FLAIR magnetic resonance.
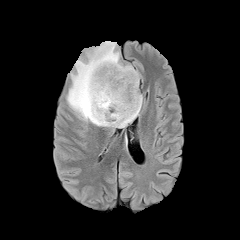
T1-weighted MR.
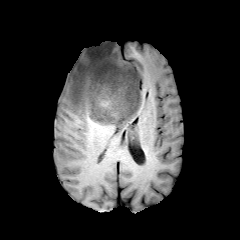
Post-contrast T1-weighted MRI.
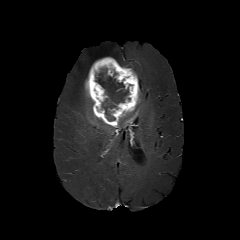
T2-weighted MRI.
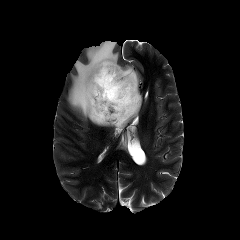
240x240, Head, Axial view
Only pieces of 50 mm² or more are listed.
{
  "enhancing_tumor": [
    "l=85, t=57, r=140, b=127"
  ],
  "peritumoral_edema": [
    "l=119, t=93, r=142, b=128",
    "l=66, t=41, r=139, b=127"
  ],
  "necrotic_tumor_core": [
    "l=96, t=72, r=128, b=115"
  ]
}